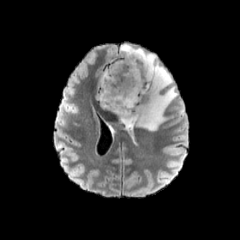
FLAIR MR image.
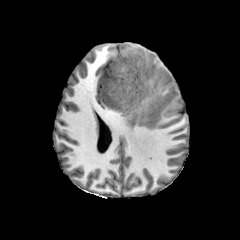
Same slice, T1-weighted MR image.
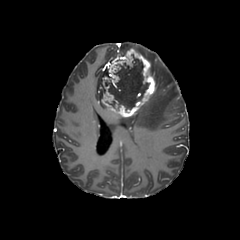
Post-contrast T1-weighted MRI of the same slice.
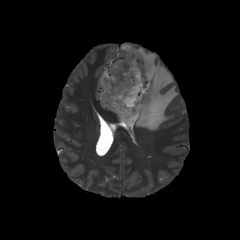
T2-weighted MR of the same slice.
Axial slice, Head
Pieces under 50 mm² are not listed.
<segmentation>
  <necrotic_tumor_core>105 54 149 110</necrotic_tumor_core>
  <enhancing_tumor>101 48 155 117</enhancing_tumor>
  <peritumoral_edema>119 44 177 130, 98 69 107 100</peritumoral_edema>
</segmentation>